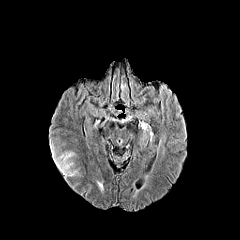
FLAIR magnetic resonance.
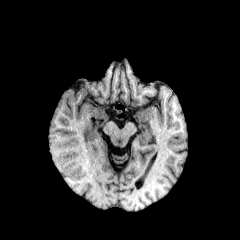
T1-weighted MR of the same slice.
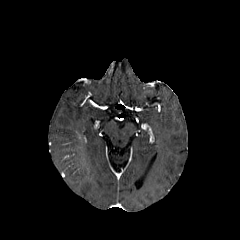
Same slice, post-contrast T1-weighted MR.
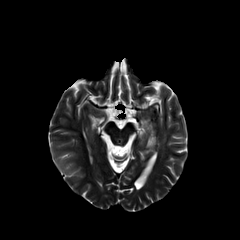
T2-weighted magnetic resonance.
Axial plane. Image size 240x240.
peritumoral edema — bbox=[64, 165, 77, 176]; bbox=[51, 145, 73, 171]